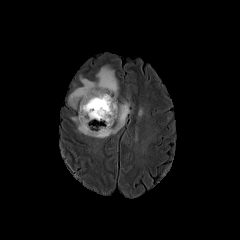
FLAIR MRI.
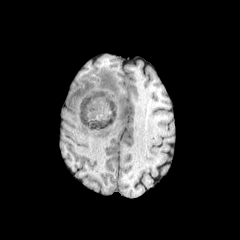
T1-weighted MRI.
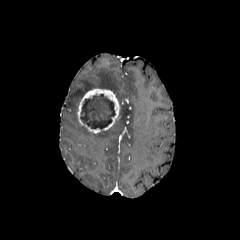
Post-contrast T1-weighted MR.
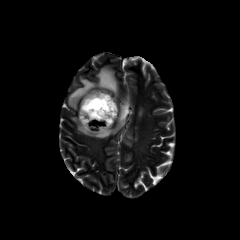
T2-weighted MRI of the same slice.
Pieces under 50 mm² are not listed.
necrotic_tumor_core:
  - 80,94,115,128
enhancing_tumor:
  - 77,88,120,132
peritumoral_edema:
  - 71,101,130,138
  - 68,66,118,109